FLAIR MR.
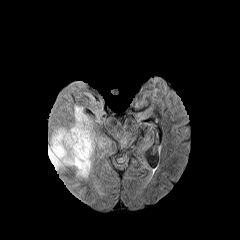
T1-weighted magnetic resonance.
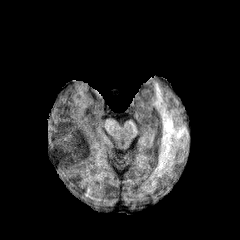
Post-contrast T1-weighted MR image.
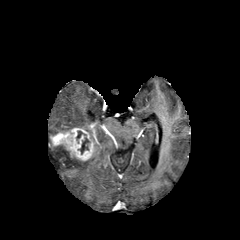
T2-weighted magnetic resonance.
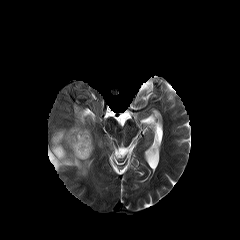
Brain, Image size 240x240, Axial plane
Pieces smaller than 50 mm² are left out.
peritumoral_edema:
  - left=71, top=105, right=90, bottom=135
  - left=48, top=141, right=91, bottom=177
enhancing_tumor:
  - left=51, top=128, right=93, bottom=160
necrotic_tumor_core:
  - left=78, top=138, right=89, bottom=153